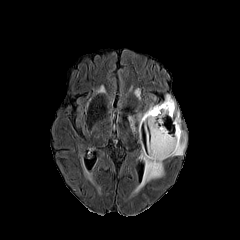
FLAIR MR.
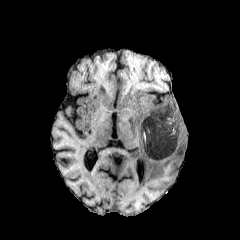
Same slice, T1-weighted MR image.
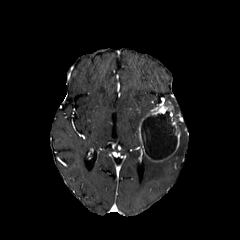
Same slice, post-contrast T1-weighted MRI.
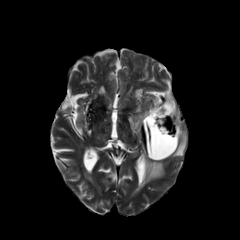
T2-weighted MRI.
Axial slice, Brain
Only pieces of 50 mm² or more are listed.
peritumoral edema: region(129, 117, 135, 131); region(172, 121, 186, 156); region(164, 95, 179, 113); region(136, 94, 155, 122); region(137, 153, 166, 189)
enhancing tumor: region(138, 100, 181, 162)
necrotic tumor core: region(141, 111, 177, 159)